FLAIR MRI.
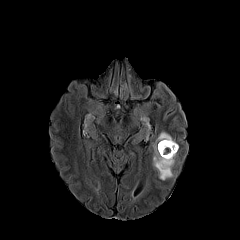
T1-weighted MRI.
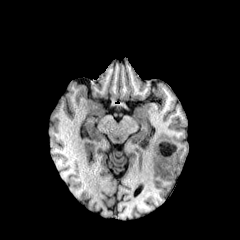
Post-contrast T1-weighted MR image.
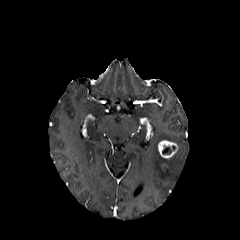
T2-weighted MRI.
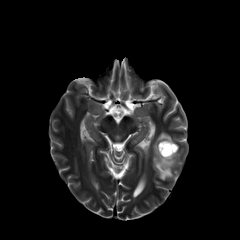
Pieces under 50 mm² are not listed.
<segmentation>
  <enhancing_tumor>region(158, 140, 178, 158)</enhancing_tumor>
  <peritumoral_edema>region(152, 131, 177, 180)</peritumoral_edema>
  <necrotic_tumor_core>region(162, 146, 171, 154)</necrotic_tumor_core>
</segmentation>